Image size 240x240. Head. Axial view.
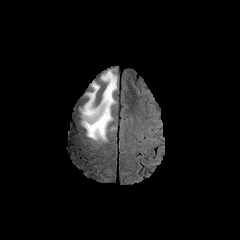
FLAIR MR image.
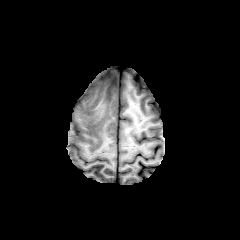
T1-weighted magnetic resonance.
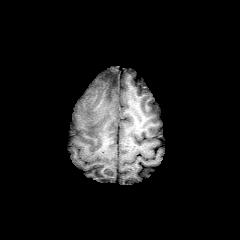
Post-contrast T1-weighted magnetic resonance.
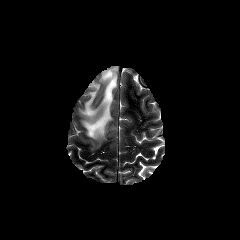
Same slice, T2-weighted MR image.
The peritumoral edema is at <box>82,70,117,139</box>.